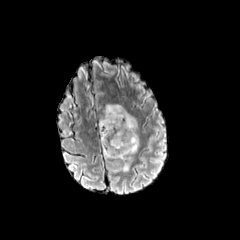
FLAIR magnetic resonance.
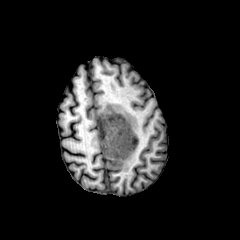
Same slice, T1-weighted MRI.
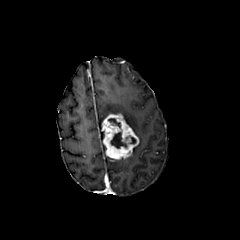
Post-contrast T1-weighted MR image.
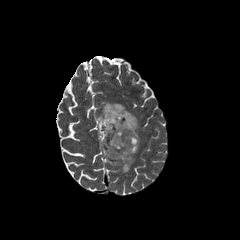
T2-weighted MRI of the same slice.
Brain; 240x240; Axial plane
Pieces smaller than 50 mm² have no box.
Segmented structures:
* enhancing tumor: (left=101, top=113, right=139, bottom=159)
* necrotic tumor core: (left=110, top=132, right=126, bottom=148), (left=108, top=118, right=120, bottom=127)
* peritumoral edema: (left=99, top=104, right=139, bottom=171)